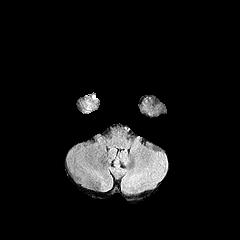
FLAIR MR.
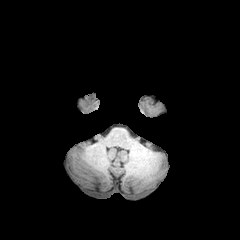
T1-weighted MRI.
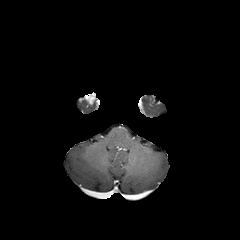
Post-contrast T1-weighted MRI.
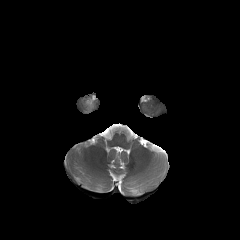
T2-weighted magnetic resonance.
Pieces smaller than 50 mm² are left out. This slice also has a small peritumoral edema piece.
The enhancing tumor is bounded by (84,92,96,104).